FLAIR MRI.
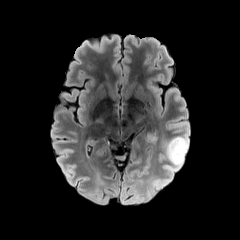
T1-weighted MR.
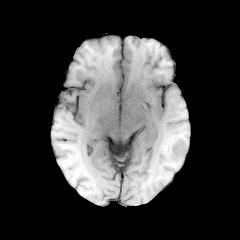
Post-contrast T1-weighted MR.
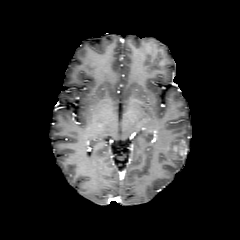
T2-weighted MRI.
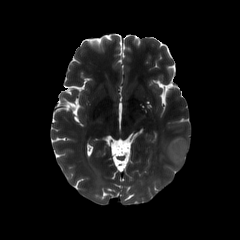
240x240. Brain. Axial plane.
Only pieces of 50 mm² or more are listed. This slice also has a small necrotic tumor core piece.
The enhancing tumor is located at 173,139,187,157. The largest peritumoral edema region is located at 161,131,189,183.